Head
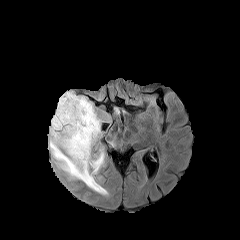
FLAIR MRI.
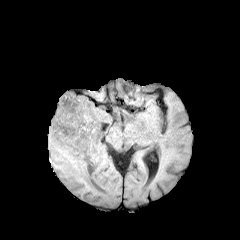
T1-weighted MR of the same slice.
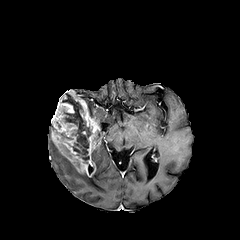
Same slice, post-contrast T1-weighted magnetic resonance.
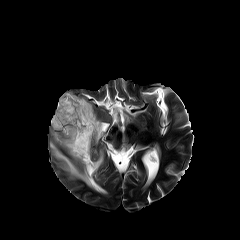
T2-weighted magnetic resonance.
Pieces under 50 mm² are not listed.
The 2 largest peritumoral edema regions are located at 80, 96, 101, 126; 49, 137, 107, 194. The largest necrotic tumor core region is located at 62, 93, 91, 161. The largest enhancing tumor region is at 51, 90, 101, 177.